Slice 70 of 155
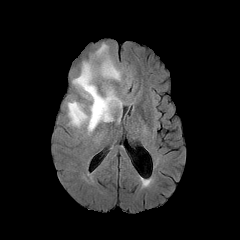
FLAIR magnetic resonance.
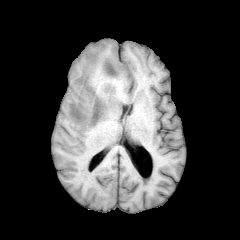
T1-weighted MRI.
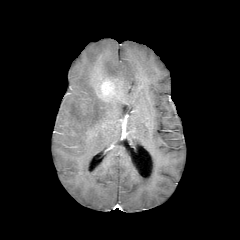
Post-contrast T1-weighted MR.
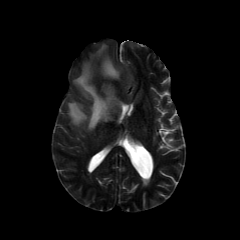
T2-weighted MR of the same slice.
- peritumoral edema: (left=100, top=55, right=120, bottom=81), (left=96, top=44, right=107, bottom=56), (left=67, top=61, right=122, bottom=133)
- enhancing tumor: (left=98, top=79, right=114, bottom=101)